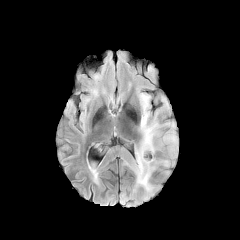
FLAIR MR image.
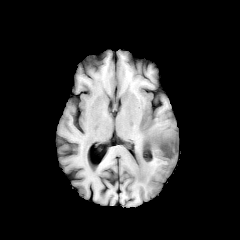
T1-weighted magnetic resonance.
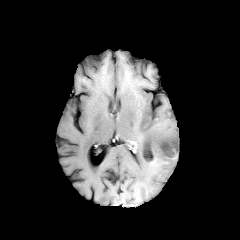
Post-contrast T1-weighted magnetic resonance.
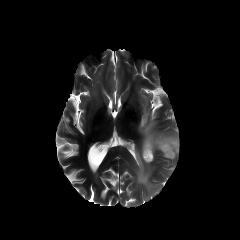
T2-weighted MR of the same slice.
Brain.
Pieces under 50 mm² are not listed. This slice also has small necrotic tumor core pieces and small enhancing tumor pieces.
Annotated regions:
- peritumoral edema: box=[133, 102, 177, 191]